Axial plane; Image covers 240 mm x 240 mm; Head
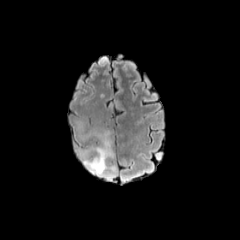
FLAIR MR image.
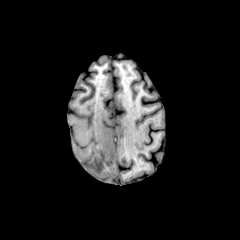
Same slice, T1-weighted MR image.
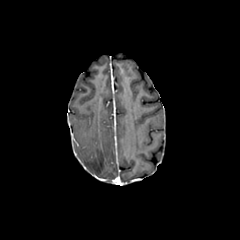
Post-contrast T1-weighted magnetic resonance of the same slice.
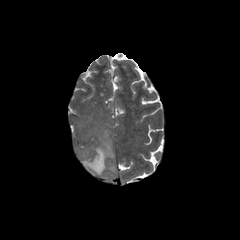
Same slice, T2-weighted MR image.
peritumoral_edema:
  - bbox(79, 130, 116, 179)